FLAIR MR image.
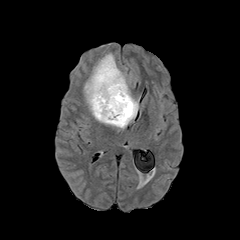
T1-weighted magnetic resonance.
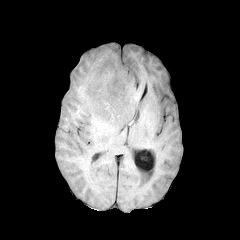
Post-contrast T1-weighted MRI.
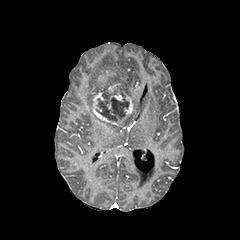
T2-weighted MR image.
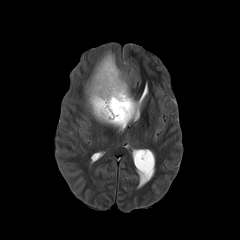
Head
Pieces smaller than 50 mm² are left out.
enhancing_tumor:
  - box(98, 70, 115, 86)
  - box(93, 81, 133, 124)
peritumoral_edema:
  - box(84, 52, 139, 128)
necrotic_tumor_core:
  - box(96, 98, 117, 121)
  - box(110, 97, 129, 118)